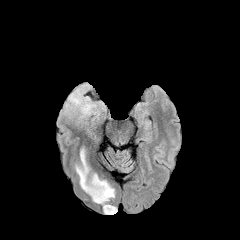
FLAIR magnetic resonance.
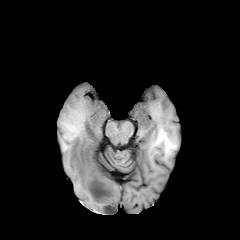
T1-weighted magnetic resonance.
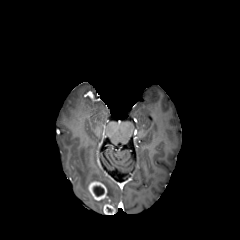
Same slice, post-contrast T1-weighted MR.
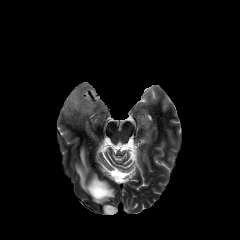
T2-weighted MR.
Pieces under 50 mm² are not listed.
<segmentation>
  <peritumoral_edema>rect(75, 148, 114, 206); rect(64, 83, 98, 130)</peritumoral_edema>
  <necrotic_tumor_core>rect(93, 186, 104, 196)</necrotic_tumor_core>
  <enhancing_tumor>rect(88, 181, 107, 200); rect(103, 204, 115, 214)</enhancing_tumor>
</segmentation>